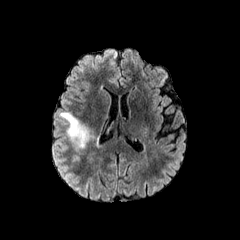
FLAIR MR.
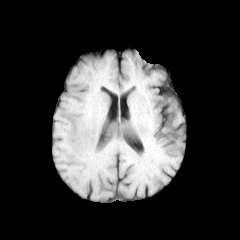
Same slice, T1-weighted MR image.
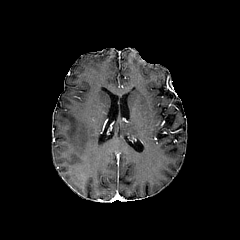
Post-contrast T1-weighted MR image.
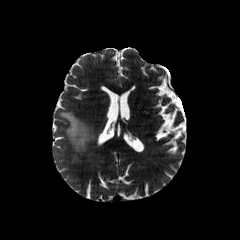
T2-weighted MRI.
Head. 240x240 px.
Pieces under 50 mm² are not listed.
Findings:
- peritumoral edema: bbox(59, 112, 94, 151)